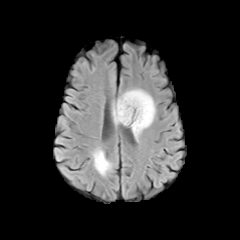
FLAIR MRI.
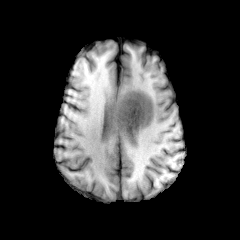
T1-weighted MR of the same slice.
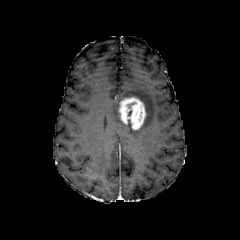
Same slice, post-contrast T1-weighted MR image.
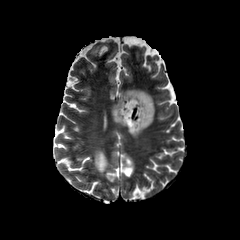
T2-weighted magnetic resonance.
Head
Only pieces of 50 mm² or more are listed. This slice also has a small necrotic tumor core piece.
enhancing tumor: [118,96,146,130] | peritumoral edema: [93,150,110,175], [113,89,155,137]